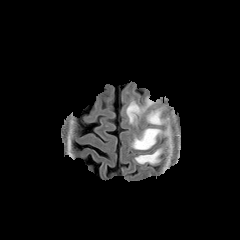
FLAIR MR.
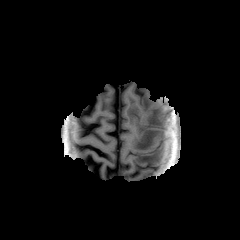
T1-weighted magnetic resonance.
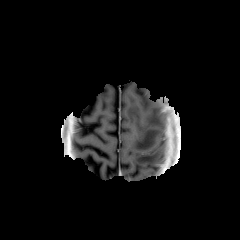
Same slice, post-contrast T1-weighted MR image.
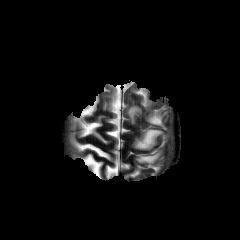
T2-weighted MRI.
Axial slice. 240x240 px.
<segmentation>
  <peritumoral_edema>(x1=126, y1=99, x2=153, y2=123), (x1=132, y1=128, x2=162, y2=150), (x1=147, y1=106, x2=168, y2=125), (x1=135, y1=149, x2=162, y2=164)</peritumoral_edema>
</segmentation>